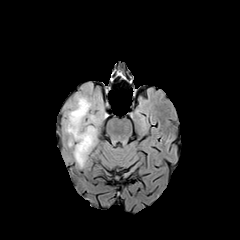
FLAIR MR image.
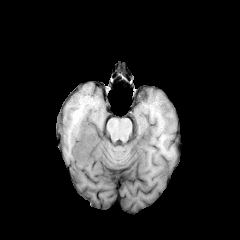
T1-weighted MR of the same slice.
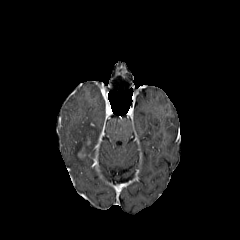
Post-contrast T1-weighted MR of the same slice.
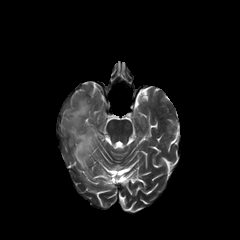
T2-weighted magnetic resonance.
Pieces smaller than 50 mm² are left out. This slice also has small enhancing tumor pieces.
The peritumoral edema is located at <bbox>60, 82, 104, 168</bbox>.